FLAIR MR image.
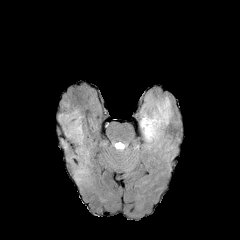
T1-weighted magnetic resonance.
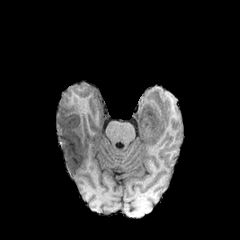
Post-contrast T1-weighted MR image.
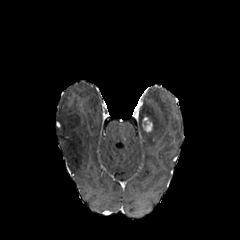
T2-weighted magnetic resonance.
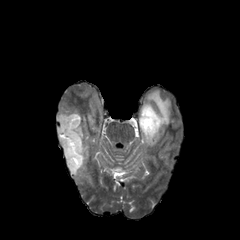
240x240, Head
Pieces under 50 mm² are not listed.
peritumoral edema: <box>140,93,172,142</box>, <box>56,99,91,184</box> | enhancing tumor: <box>142,117,153,132</box>